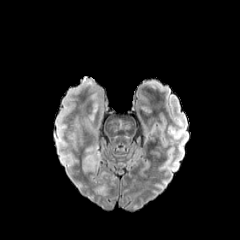
FLAIR MR image.
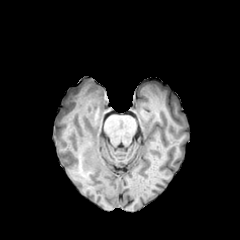
Same slice, T1-weighted MR.
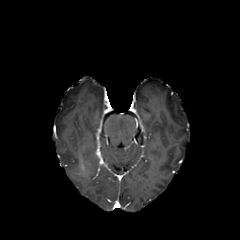
Post-contrast T1-weighted MR.
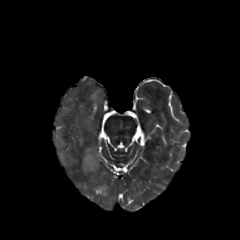
Same slice, T2-weighted MR image.
Axial slice. 240x240 px.
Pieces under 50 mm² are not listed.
{"peritumoral_edema": ["box=[82, 148, 102, 170]"]}